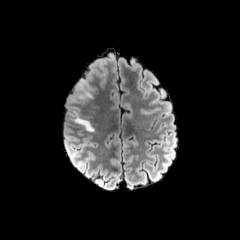
FLAIR MR.
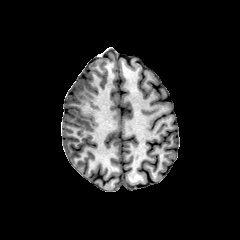
T1-weighted magnetic resonance.
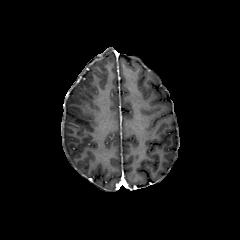
Post-contrast T1-weighted MR image.
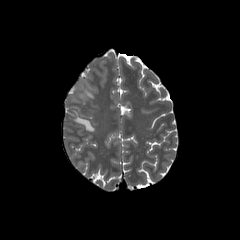
T2-weighted magnetic resonance.
Axial plane
peritumoral edema: (68,106,93,131), (68,79,92,103)